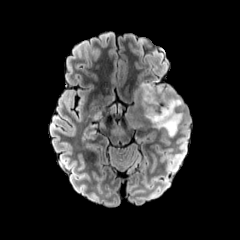
FLAIR magnetic resonance.
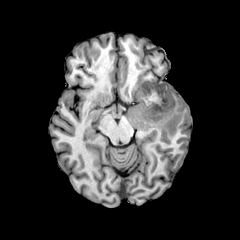
T1-weighted MR.
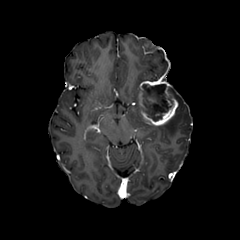
Post-contrast T1-weighted MR image.
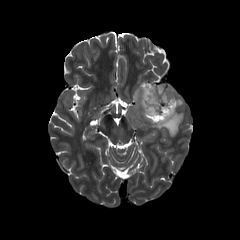
Same slice, T2-weighted MR image.
Head
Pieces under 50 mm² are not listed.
enhancing tumor: left=137, top=79, right=178, bottom=125 | necrotic tumor core: left=142, top=84, right=171, bottom=121 | peritumoral edema: left=134, top=87, right=138, bottom=108; left=152, top=86, right=184, bottom=136